FLAIR magnetic resonance.
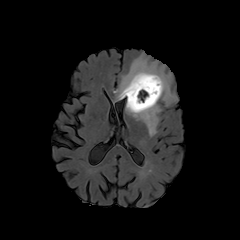
T1-weighted MR.
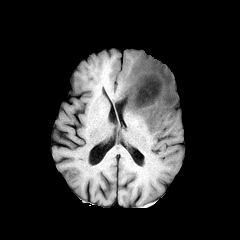
Post-contrast T1-weighted MR image.
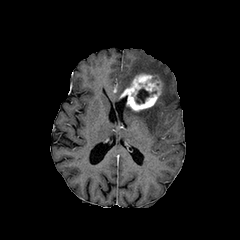
T2-weighted MR image.
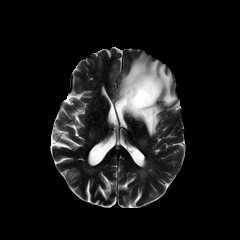
Brain. Axial slice. Image size 240x240.
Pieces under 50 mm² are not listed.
The enhancing tumor is bounded by x1=120 y1=73 x2=162 y2=111. The largest necrotic tumor core region lies within x1=136 y1=88 x2=149 y2=103. 2 peritumoral edema regions appear at x1=116 y1=53 x2=177 y2=106, x1=125 y1=102 x2=161 y2=136.